Axial slice
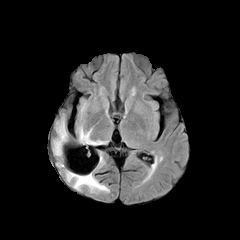
FLAIR magnetic resonance.
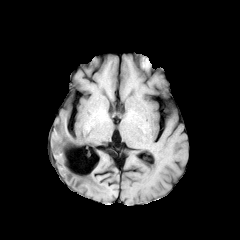
T1-weighted MR.
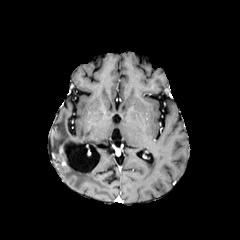
Post-contrast T1-weighted MR image.
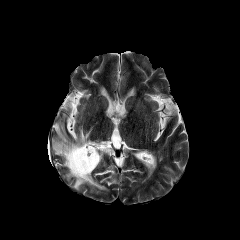
Same slice, T2-weighted magnetic resonance.
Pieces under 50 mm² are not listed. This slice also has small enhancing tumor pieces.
{
  "peritumoral_edema": [
    "bbox(79, 128, 104, 144)",
    "bbox(66, 171, 108, 190)",
    "bbox(53, 119, 67, 155)"
  ]
}